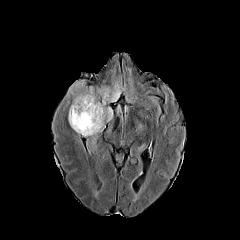
FLAIR MR.
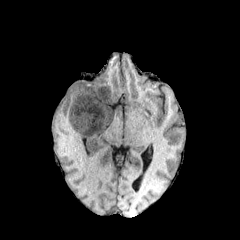
T1-weighted magnetic resonance.
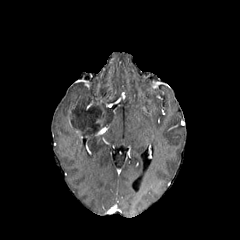
Post-contrast T1-weighted magnetic resonance.
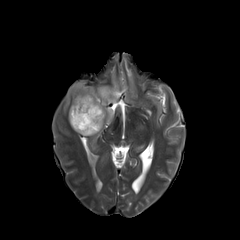
T2-weighted MR image.
Brain
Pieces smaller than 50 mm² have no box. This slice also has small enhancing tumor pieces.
{"peritumoral_edema": ["[66,83,95,120]", "[96,79,127,126]"], "necrotic_tumor_core": ["[70,96,104,134]", "[98,91,113,100]"]}